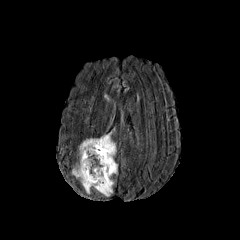
FLAIR MRI.
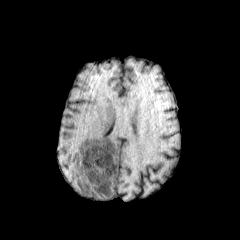
T1-weighted MR image.
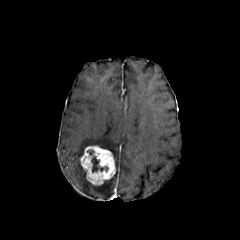
Post-contrast T1-weighted magnetic resonance.
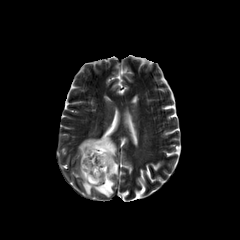
T2-weighted MR.
Brain. Axial view.
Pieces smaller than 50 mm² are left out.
The enhancing tumor is bounded by [x1=80, y1=145, x2=115, y2=185]. The 2 largest peritumoral edema regions are located at [x1=79, y1=134, x2=116, y2=157], [x1=72, y1=163, x2=114, y2=196]. The largest necrotic tumor core region is at [x1=92, y1=157, x2=107, y2=171].